FLAIR MR.
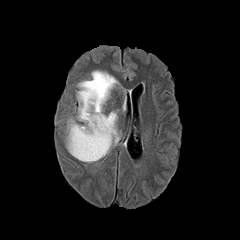
T1-weighted MR image.
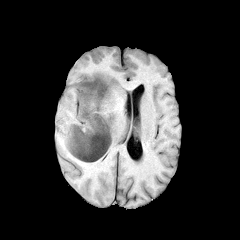
Post-contrast T1-weighted MRI.
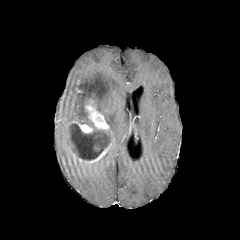
T2-weighted MR.
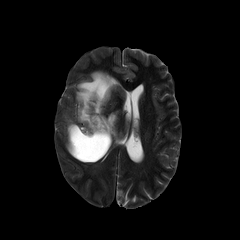
Head, 240x240
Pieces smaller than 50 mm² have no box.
The enhancing tumor is at 69:98:111:162. The necrotic tumor core appears at 71:124:100:160. The 2 largest peritumoral edema regions appear at 66:118:78:152, 76:70:120:154.